240x240, Axial plane
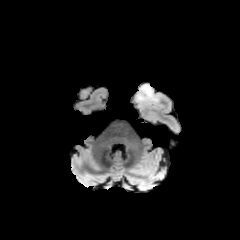
FLAIR MRI.
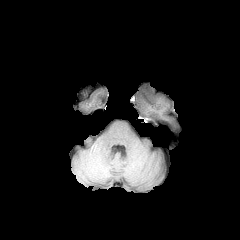
Same slice, T1-weighted MRI.
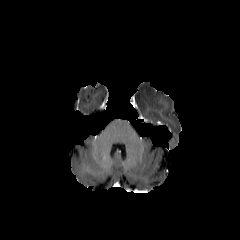
Post-contrast T1-weighted MR image.
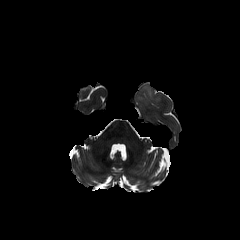
T2-weighted MR.
Findings:
- peritumoral edema: <box>136,85,158,102</box>